Axial plane. Head. Slice index 73.
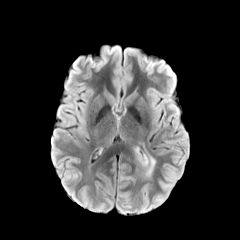
FLAIR MRI.
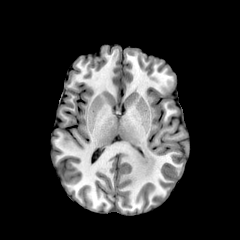
Same slice, T1-weighted magnetic resonance.
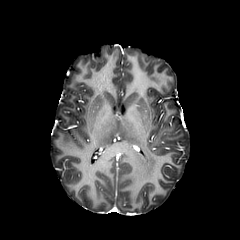
Post-contrast T1-weighted magnetic resonance.
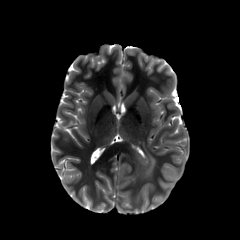
Same slice, T2-weighted MR image.
peritumoral_edema:
  - 136 151 148 166
  - 147 156 155 173